Head, 240x240 px, Slice 88/155
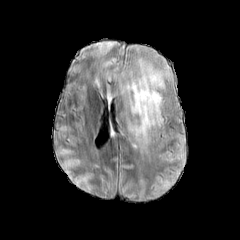
FLAIR MRI.
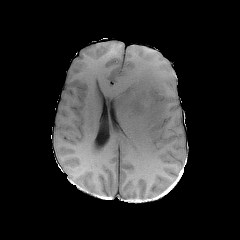
T1-weighted MR image of the same slice.
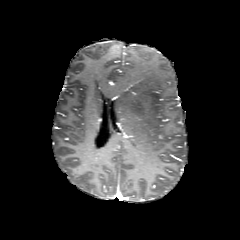
Post-contrast T1-weighted MRI of the same slice.
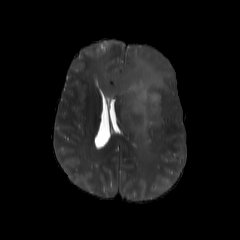
Same slice, T2-weighted magnetic resonance.
Annotated regions:
* peritumoral edema: l=116, t=59, r=172, b=142